Slice 51/155, Head, Image covers 240 mm x 240 mm
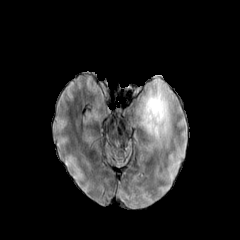
FLAIR MR image.
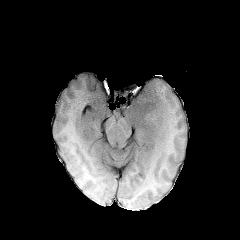
Same slice, T1-weighted MR image.
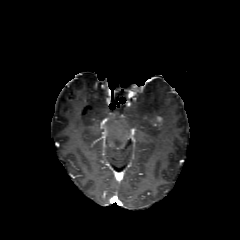
Post-contrast T1-weighted MR.
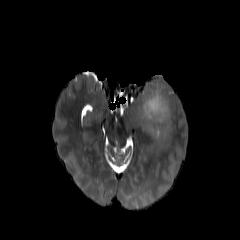
T2-weighted MR.
peritumoral edema at box(136, 82, 170, 143)
enhancing tumor at box(155, 116, 163, 124)